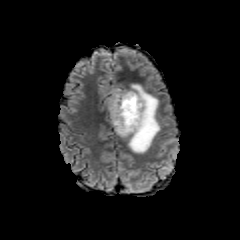
FLAIR magnetic resonance.
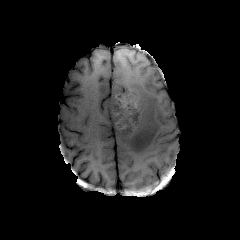
T1-weighted MRI of the same slice.
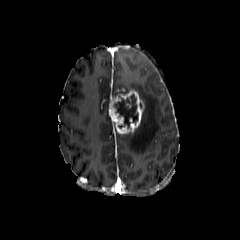
Post-contrast T1-weighted MRI of the same slice.
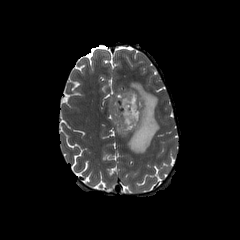
T2-weighted MR.
Brain. Axial slice.
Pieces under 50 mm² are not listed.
necrotic_tumor_core:
  - x1=114 y1=95 x2=138 y2=127
peritumoral_edema:
  - x1=112 y1=84 x2=160 y2=153
enhancing_tumor:
  - x1=109 y1=90 x2=144 y2=134